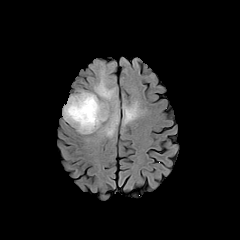
FLAIR MR.
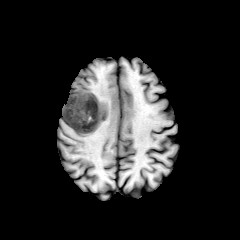
T1-weighted magnetic resonance of the same slice.
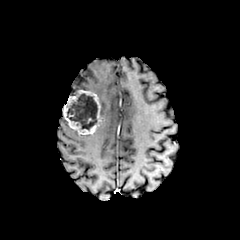
Post-contrast T1-weighted MR.
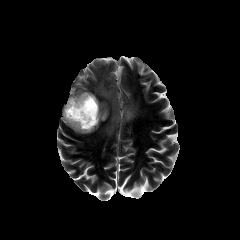
Same slice, T2-weighted MR.
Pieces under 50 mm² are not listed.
necrotic tumor core: bounding box l=67, t=95, r=97, b=129
peritumoral edema: bounding box l=122, t=101, r=139, b=125; l=92, t=73, r=119, b=138
enhancing tumor: bounding box l=63, t=90, r=103, b=134